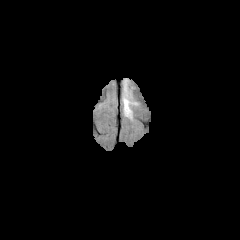
FLAIR MR.
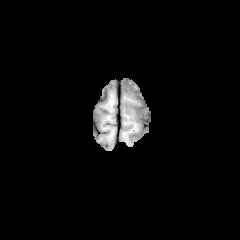
Same slice, T1-weighted magnetic resonance.
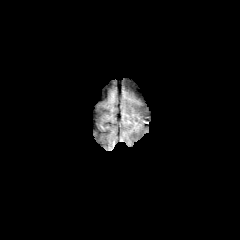
Same slice, post-contrast T1-weighted MR image.
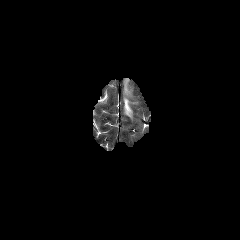
Same slice, T2-weighted MR image.
Axial plane | Brain
peritumoral edema = 123 79 135 118